FLAIR MR.
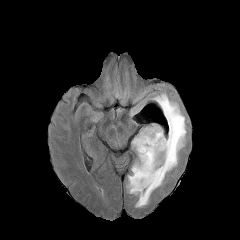
T1-weighted magnetic resonance.
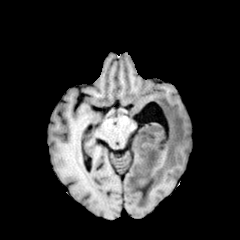
Post-contrast T1-weighted magnetic resonance.
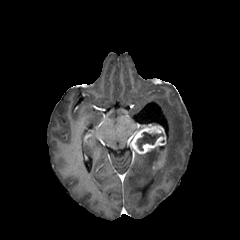
T2-weighted MRI.
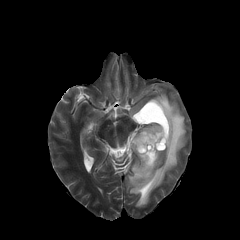
Axial view. Brain.
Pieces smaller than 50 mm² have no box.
The largest enhancing tumor region is at [131,125,166,154]. The largest necrotic tumor core region is located at [137,132,163,150]. The largest peritumoral edema region is located at [127,93,186,207].